240x240 px
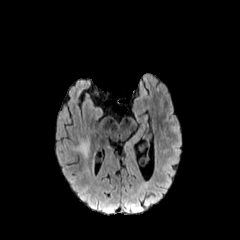
FLAIR MR.
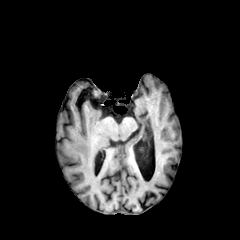
T1-weighted MR image.
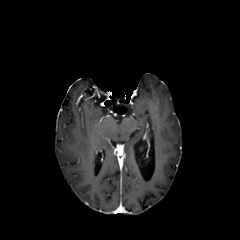
Post-contrast T1-weighted MR image of the same slice.
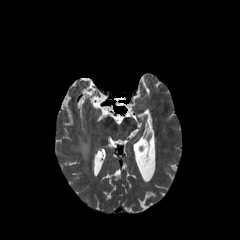
T2-weighted MR image of the same slice.
peritumoral_edema:
  - x1=73, y1=139, x2=89, y2=157